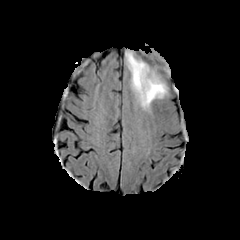
FLAIR magnetic resonance.
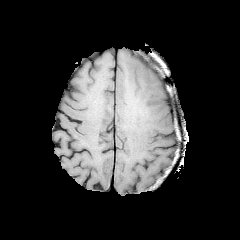
T1-weighted MRI.
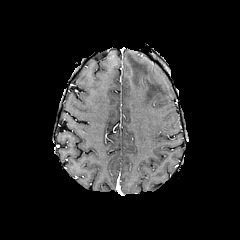
Post-contrast T1-weighted MRI of the same slice.
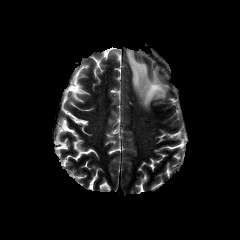
T2-weighted MR image.
Axial slice.
The peritumoral edema is at box(125, 51, 167, 108).